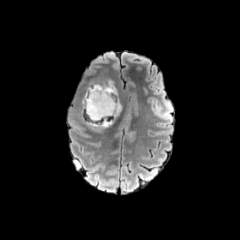
FLAIR MRI.
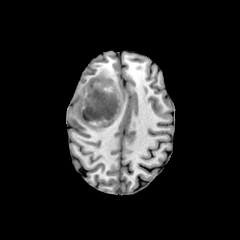
T1-weighted magnetic resonance.
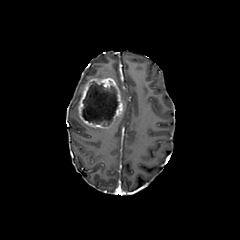
Post-contrast T1-weighted MRI of the same slice.
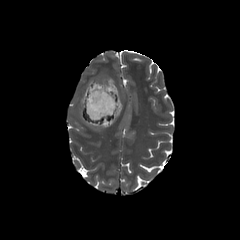
T2-weighted magnetic resonance.
240x240 | Brain
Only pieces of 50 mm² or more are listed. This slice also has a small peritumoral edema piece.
{"enhancing_tumor": ["x1=77, y1=77, x2=123, y2=128"], "necrotic_tumor_core": ["x1=82, y1=81, x2=118, y2=125"]}